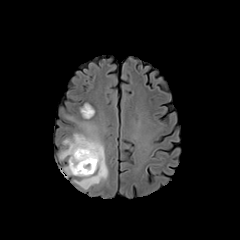
FLAIR MR.
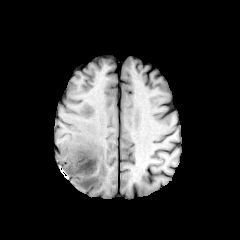
T1-weighted MRI of the same slice.
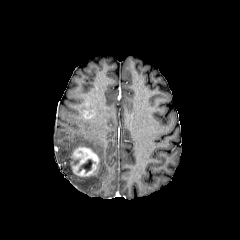
Post-contrast T1-weighted MR image.
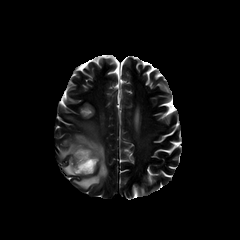
T2-weighted MR image.
Axial slice
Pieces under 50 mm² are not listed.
Annotated regions:
• enhancing tumor: 83:108:94:118, 70:146:99:176
• necrotic tumor core: 78:159:93:172
• peritumoral edema: 59:122:108:189, 80:103:93:117